Slice index 107, Brain
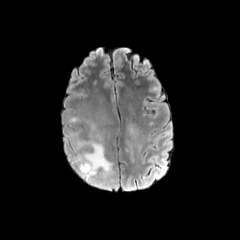
FLAIR magnetic resonance.
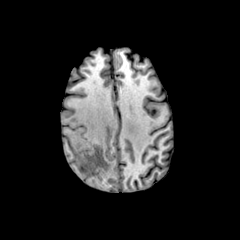
T1-weighted MR image.
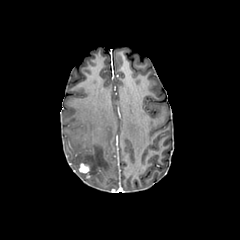
Post-contrast T1-weighted MRI.
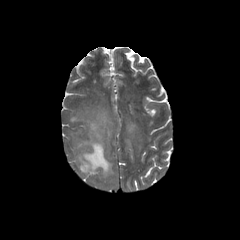
T2-weighted MR image.
<segmentation>
  <peritumoral_edema><box>71,124,113,183</box></peritumoral_edema>
  <enhancing_tumor><box>79,163,89,172</box></enhancing_tumor>
</segmentation>